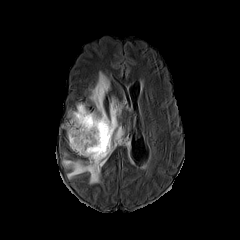
FLAIR MRI.
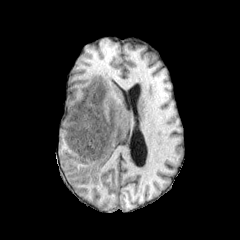
T1-weighted MR image.
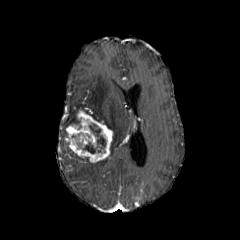
Post-contrast T1-weighted MRI.
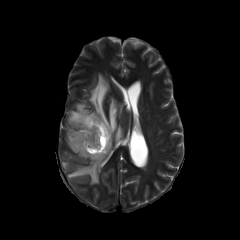
T2-weighted MRI of the same slice.
Axial view.
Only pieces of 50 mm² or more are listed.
The enhancing tumor appears at [66, 108, 112, 162]. The 3 largest peritumoral edema regions are located at [89, 73, 123, 154], [63, 157, 108, 184], [64, 103, 85, 127]. The 2 largest necrotic tumor core regions appear at [89, 125, 106, 149], [84, 142, 96, 153].